Axial plane | 240x240 | Head
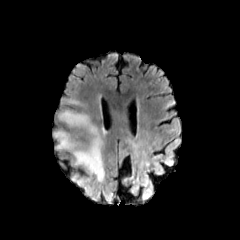
FLAIR magnetic resonance.
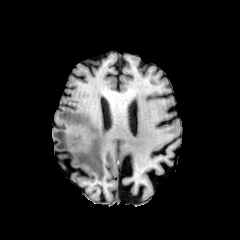
T1-weighted MRI of the same slice.
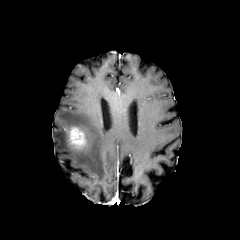
Post-contrast T1-weighted magnetic resonance.
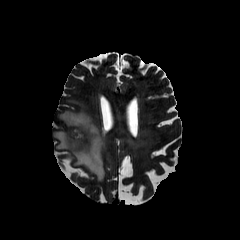
Same slice, T2-weighted MR image.
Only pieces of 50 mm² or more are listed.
{"peritumoral_edema": ["l=69, t=98, r=84, b=106", "l=53, t=109, r=105, b=201"], "enhancing_tumor": ["l=66, t=126, r=86, b=150"]}